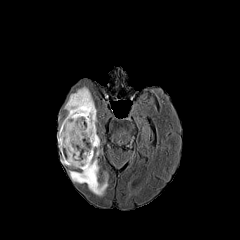
FLAIR MR.
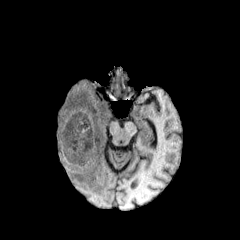
T1-weighted MRI.
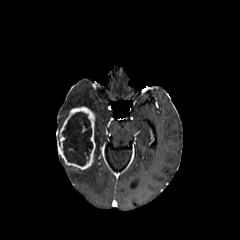
Same slice, post-contrast T1-weighted MRI.
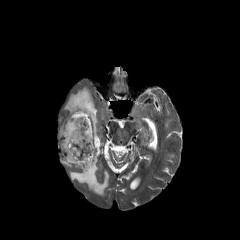
T2-weighted magnetic resonance.
Axial view
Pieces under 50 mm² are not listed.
The largest peritumoral edema region lies within <box>64,87,108,195</box>. The necrotic tumor core appears at <box>62,112,92,165</box>. The largest enhancing tumor region is located at <box>59,106,95,169</box>.